FLAIR MR image.
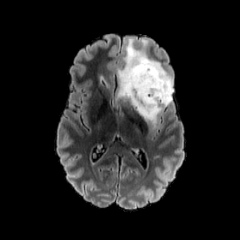
T1-weighted MR image.
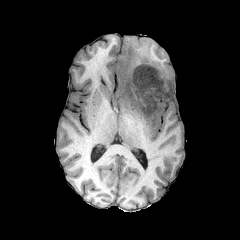
Post-contrast T1-weighted MR image.
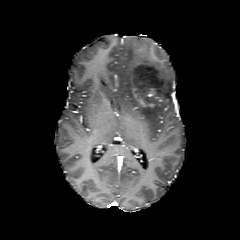
T2-weighted MR image.
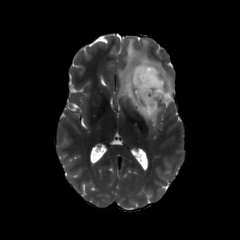
240x240 px.
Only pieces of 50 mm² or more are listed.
enhancing tumor: bounding box [x1=130, y1=75, x2=168, y2=108]
peritumoral edema: bounding box [x1=117, y1=38, x2=173, y2=128]